FLAIR MR image.
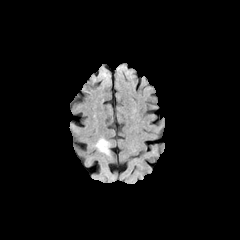
T1-weighted MR.
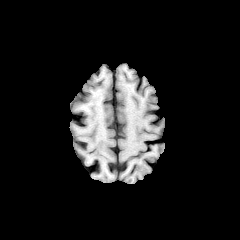
Post-contrast T1-weighted MR.
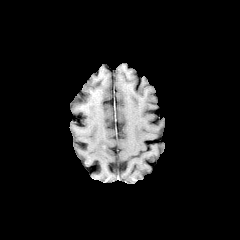
T2-weighted MR.
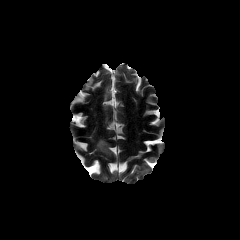
The peritumoral edema is located at (left=95, top=138, right=110, bottom=155).